Slice 122 of 155; Image width 240 mm, 1.00 mm slice spacing; Brain
FLAIR MR.
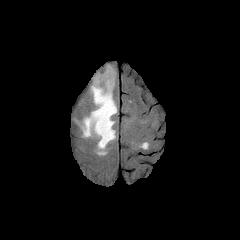
T1-weighted magnetic resonance.
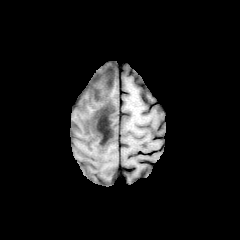
Post-contrast T1-weighted magnetic resonance.
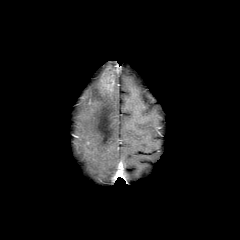
T2-weighted MRI.
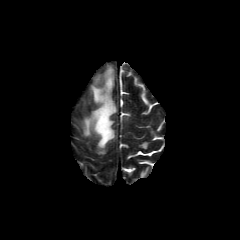
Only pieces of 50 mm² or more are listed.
peritumoral edema: box(81, 73, 117, 154)
enhancing tumor: box(101, 66, 114, 92)